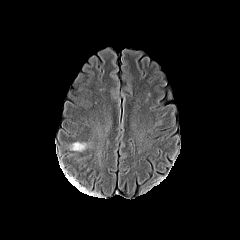
FLAIR magnetic resonance.
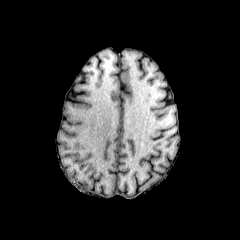
Same slice, T1-weighted MRI.
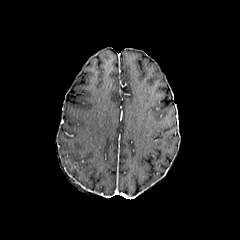
Same slice, post-contrast T1-weighted MRI.
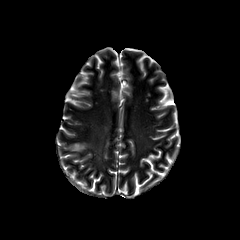
T2-weighted MR of the same slice.
The peritumoral edema is bounded by <box>71,143,85,150</box>.